Image width 240 mm, 1.00 mm slice spacing; Slice 96 of 155
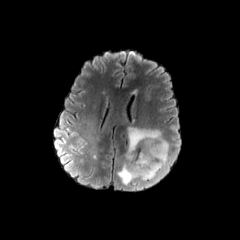
FLAIR MR image.
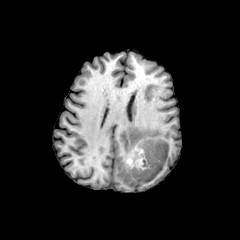
T1-weighted magnetic resonance.
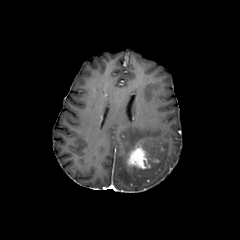
Post-contrast T1-weighted MR image.
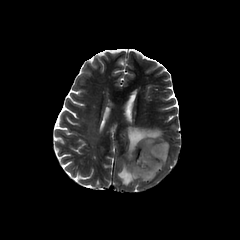
T2-weighted MR image of the same slice.
enhancing_tumor:
  - (128, 147, 150, 168)
peritumoral_edema:
  - (117, 126, 168, 186)